Slice 53 of 155, Image size 240x240
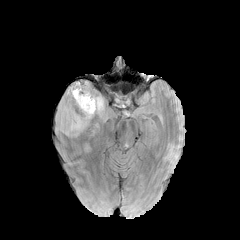
FLAIR magnetic resonance.
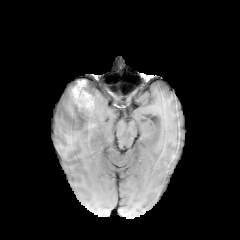
T1-weighted magnetic resonance.
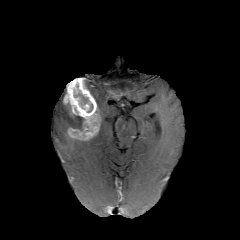
Same slice, post-contrast T1-weighted MR image.
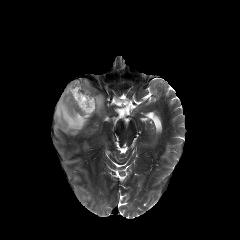
T2-weighted MRI of the same slice.
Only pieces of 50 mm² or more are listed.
The 2 largest peritumoral edema regions are bounded by {"x1": 92, "y1": 95, "x2": 103, "y2": 115}, {"x1": 56, "y1": 99, "x2": 83, "y2": 134}. The 2 largest necrotic tumor core regions are located at {"x1": 83, "y1": 123, "x2": 95, "y2": 135}, {"x1": 74, "y1": 92, "x2": 88, "y2": 105}. The enhancing tumor is located at {"x1": 63, "y1": 80, "x2": 99, "y2": 139}.